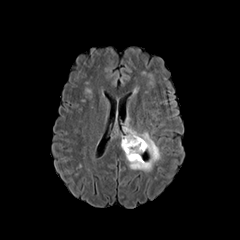
FLAIR MRI.
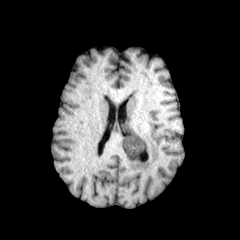
T1-weighted MR image.
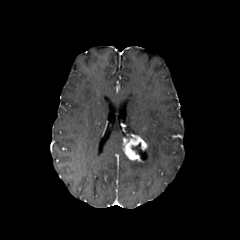
Post-contrast T1-weighted magnetic resonance of the same slice.
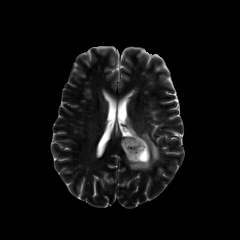
T2-weighted MR image.
Head
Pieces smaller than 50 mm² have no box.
* necrotic tumor core: bbox(131, 143, 142, 154)
* peritumoral edema: bbox(126, 122, 160, 171)
* enhancing tumor: bbox(123, 134, 147, 161)